Image width 240 mm, 1.00 mm slice spacing.
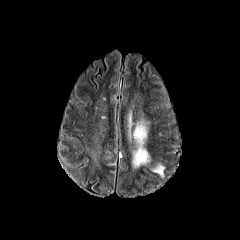
FLAIR magnetic resonance.
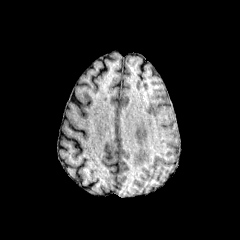
T1-weighted MR image.
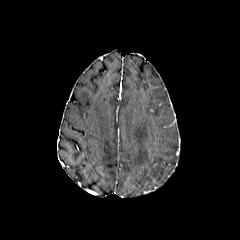
Post-contrast T1-weighted magnetic resonance of the same slice.
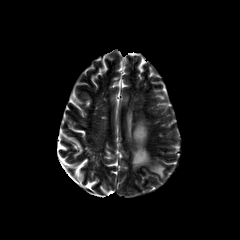
T2-weighted MRI.
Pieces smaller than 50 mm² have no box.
peritumoral_edema:
  - [153, 165, 163, 175]
  - [133, 122, 148, 166]